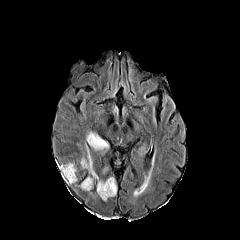
FLAIR MRI.
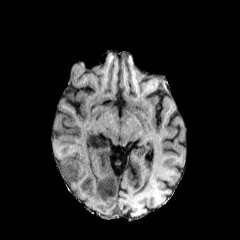
T1-weighted MRI.
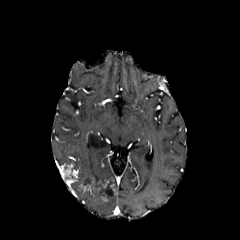
Post-contrast T1-weighted magnetic resonance of the same slice.
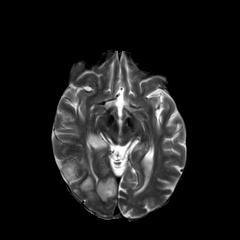
T2-weighted magnetic resonance of the same slice.
Head
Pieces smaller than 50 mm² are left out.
enhancing tumor: bounding box bbox(79, 181, 93, 194); bbox(58, 163, 78, 184); bbox(98, 177, 114, 189)
peritumoral edema: bounding box bbox(86, 131, 108, 150); bbox(80, 144, 98, 179)
necrotic tumor core: bounding box bbox(99, 179, 113, 194)